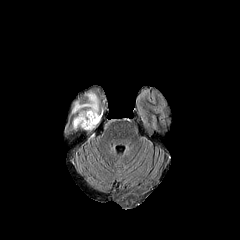
FLAIR MRI.
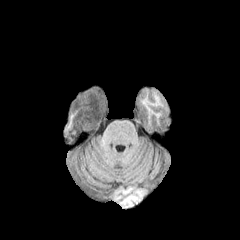
Same slice, T1-weighted magnetic resonance.
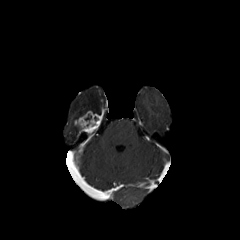
Post-contrast T1-weighted magnetic resonance.
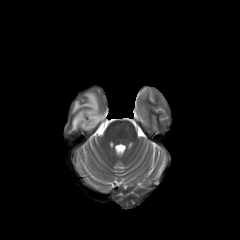
T2-weighted magnetic resonance.
240x240; Head; Axial slice
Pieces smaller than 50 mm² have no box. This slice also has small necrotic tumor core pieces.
Findings:
• enhancing tumor: box=[74, 110, 101, 139]
• peritumoral edema: box=[72, 91, 100, 120]